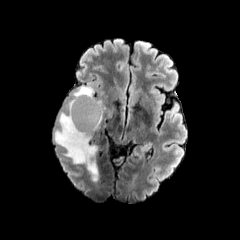
FLAIR MRI.
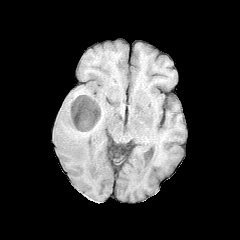
T1-weighted magnetic resonance.
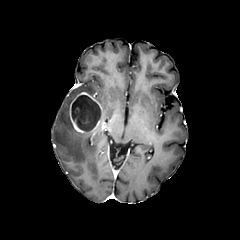
Post-contrast T1-weighted magnetic resonance.
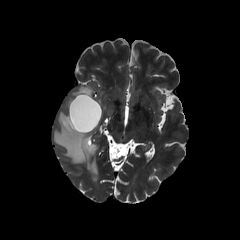
T2-weighted magnetic resonance.
Head
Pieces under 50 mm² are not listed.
necrotic_tumor_core:
  - l=71, t=95, r=100, b=131
enhancing_tumor:
  - l=69, t=92, r=102, b=135
peritumoral_edema:
  - l=54, t=86, r=98, b=181